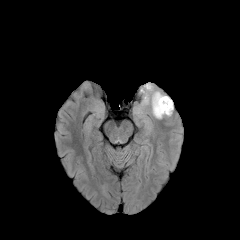
FLAIR MRI.
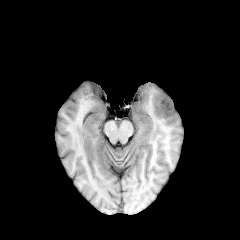
T1-weighted MR.
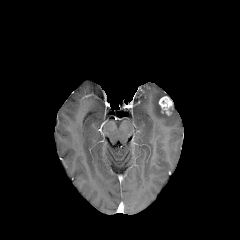
Post-contrast T1-weighted magnetic resonance.
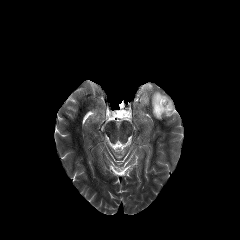
T2-weighted MR image.
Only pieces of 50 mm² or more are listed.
Segmented structures:
* enhancing tumor: <bbox>158, 96, 173, 115</bbox>
* peritumoral edema: <bbox>134, 82, 170, 124</bbox>